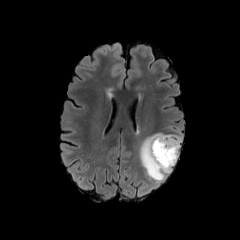
FLAIR magnetic resonance.
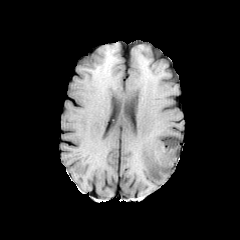
T1-weighted magnetic resonance.
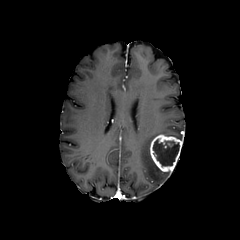
Post-contrast T1-weighted MRI.
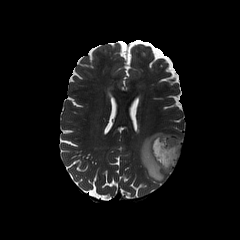
T2-weighted MRI.
Brain
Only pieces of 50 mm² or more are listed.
necrotic_tumor_core:
  - x1=153 y1=139 x2=179 y2=165
enhancing_tumor:
  - x1=150 y1=134 x2=181 y2=172
peritumoral_edema:
  - x1=139 y1=133 x2=169 y2=182
  - x1=163 y1=134 x2=182 y2=142